FLAIR MRI.
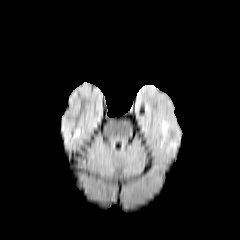
T1-weighted magnetic resonance.
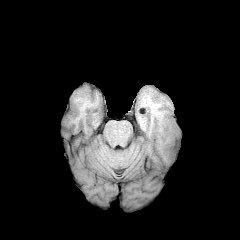
Post-contrast T1-weighted MR.
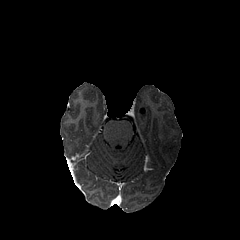
T2-weighted MRI.
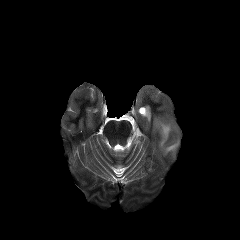
Brain
peritumoral edema — region(158, 119, 177, 153)